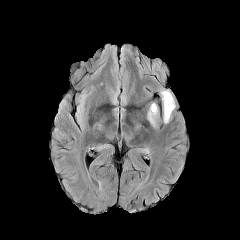
FLAIR MR image.
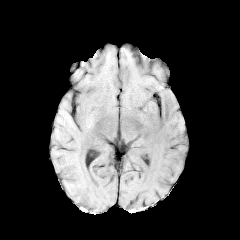
T1-weighted MR image.
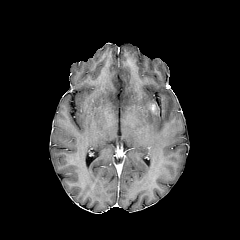
Same slice, post-contrast T1-weighted magnetic resonance.
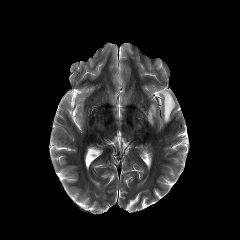
Same slice, T2-weighted MR image.
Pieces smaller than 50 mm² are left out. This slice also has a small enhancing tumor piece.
peritumoral edema: <box>147,103,158,126</box>, <box>160,89,175,123</box>